Axial plane; Image size 240x240
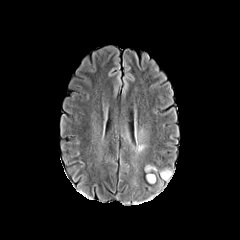
FLAIR MRI.
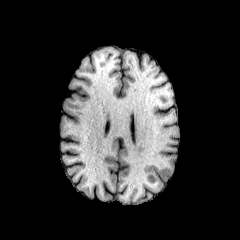
T1-weighted MR image.
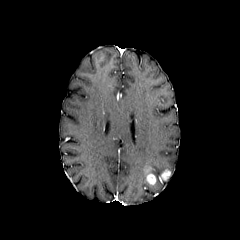
Post-contrast T1-weighted MR image.
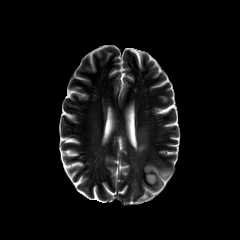
T2-weighted MR image.
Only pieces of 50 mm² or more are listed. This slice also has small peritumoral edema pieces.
Annotated regions:
- enhancing tumor: l=145, t=166, r=156, b=184; l=161, t=169, r=171, b=180